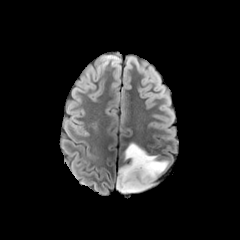
FLAIR magnetic resonance.
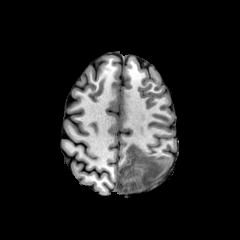
T1-weighted MR image of the same slice.
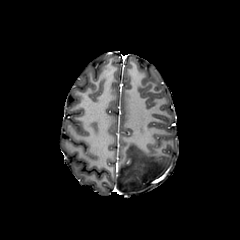
Same slice, post-contrast T1-weighted MR.
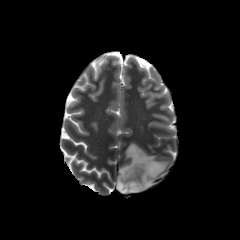
T2-weighted MR image.
Brain | Axial slice
<segmentation>
  <peritumoral_edema>l=116, t=143, r=168, b=193</peritumoral_edema>
</segmentation>